FLAIR magnetic resonance.
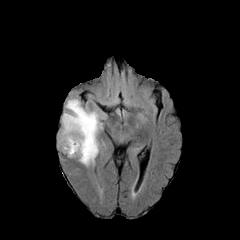
T1-weighted magnetic resonance.
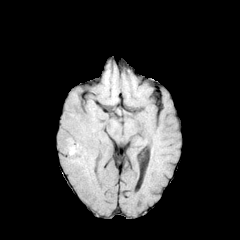
Post-contrast T1-weighted magnetic resonance.
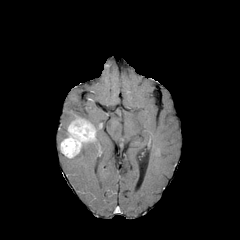
T2-weighted MRI.
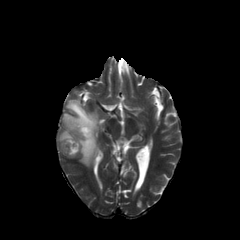
240x240
peritumoral_edema:
  - bbox(59, 99, 103, 166)
enhancing_tumor:
  - bbox(60, 117, 95, 157)